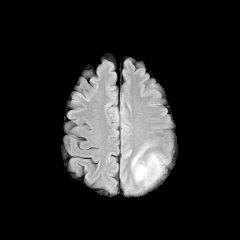
FLAIR MRI.
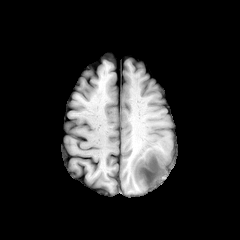
T1-weighted MR of the same slice.
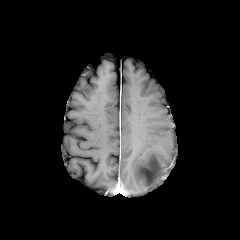
Same slice, post-contrast T1-weighted magnetic resonance.
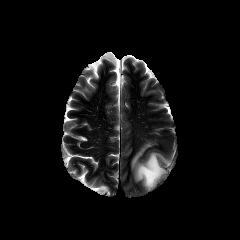
T2-weighted MR.
Axial view, Brain
The peritumoral edema appears at box(132, 145, 167, 187).